Head; Slice index 133
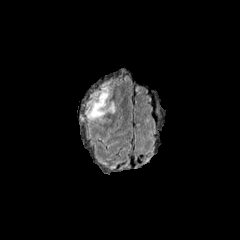
FLAIR MR.
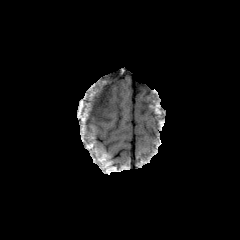
T1-weighted magnetic resonance of the same slice.
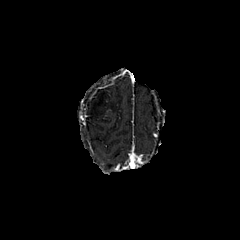
Same slice, post-contrast T1-weighted MRI.
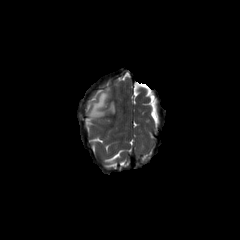
T2-weighted MRI of the same slice.
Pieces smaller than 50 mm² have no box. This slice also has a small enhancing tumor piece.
peritumoral edema: [85,86,115,121]